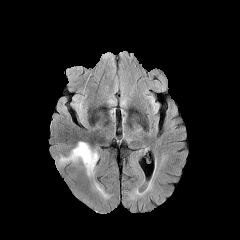
FLAIR MR image.
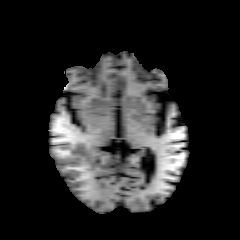
T1-weighted magnetic resonance.
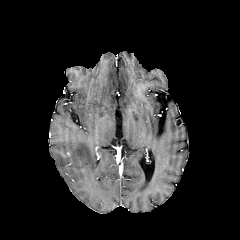
Post-contrast T1-weighted MR image.
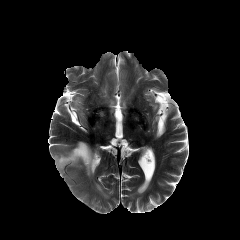
T2-weighted magnetic resonance.
Axial view.
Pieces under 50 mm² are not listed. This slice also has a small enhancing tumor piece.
Annotated regions:
- peritumoral edema: 57 141 97 176